Image width 240 mm. Axial plane. Head. 240x240 px.
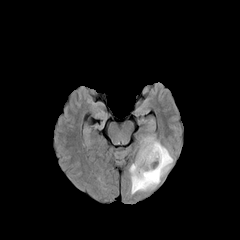
FLAIR magnetic resonance.
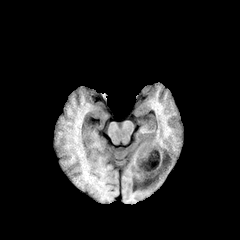
Same slice, T1-weighted magnetic resonance.
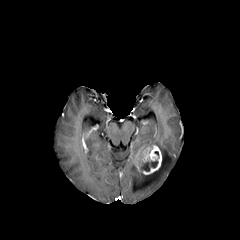
Post-contrast T1-weighted MR image.
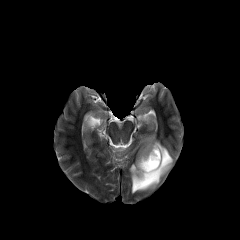
T2-weighted MR image.
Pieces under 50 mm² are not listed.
The peritumoral edema is located at region(129, 135, 173, 194). The enhancing tumor is located at region(136, 145, 162, 174). The largest necrotic tumor core region is located at region(141, 161, 157, 171).